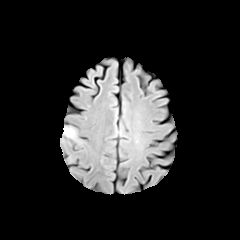
FLAIR magnetic resonance.
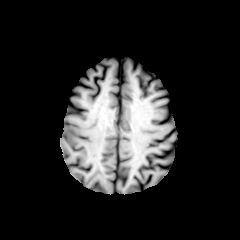
T1-weighted MR image of the same slice.
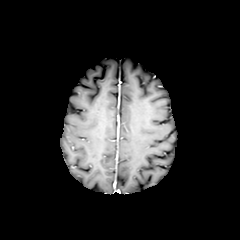
Same slice, post-contrast T1-weighted MRI.
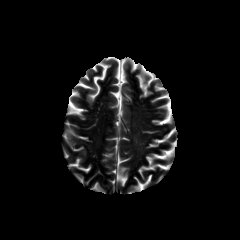
T2-weighted MRI of the same slice.
240x240 px.
{"peritumoral_edema": [{"x1": 63, "y1": 126, "x2": 77, "y2": 140}]}